Axial plane, Slice 66/155
FLAIR magnetic resonance.
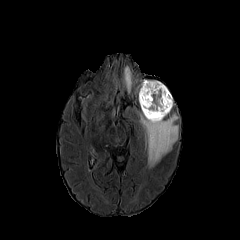
T1-weighted MRI.
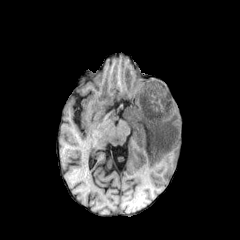
Post-contrast T1-weighted MRI.
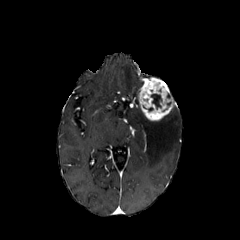
T2-weighted MRI.
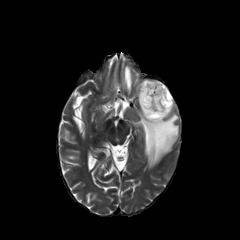
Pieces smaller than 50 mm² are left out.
{
  "necrotic_tumor_core": [
    "[x1=151, y1=94, x2=161, y2=108]"
  ],
  "peritumoral_edema": [
    "[x1=123, y1=66, x2=132, y2=93]",
    "[x1=138, y1=110, x2=179, y2=168]"
  ],
  "enhancing_tumor": [
    "[x1=138, y1=78, x2=175, y2=120]"
  ]
}